Head.
FLAIR magnetic resonance.
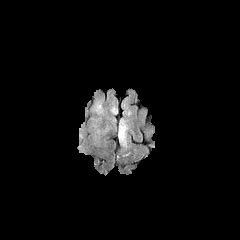
T1-weighted MR.
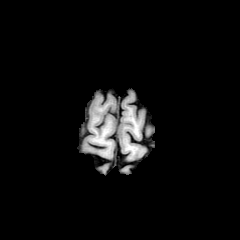
Post-contrast T1-weighted MR.
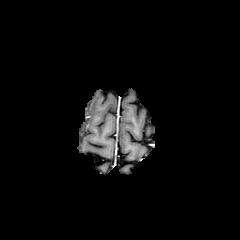
T2-weighted magnetic resonance.
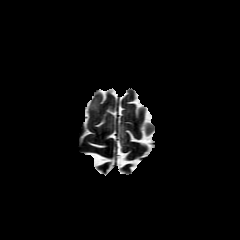
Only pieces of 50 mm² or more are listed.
peritumoral edema = 119:121:125:141